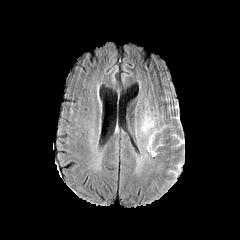
FLAIR MRI.
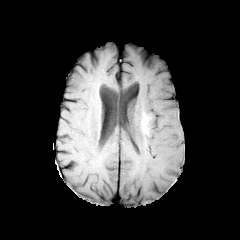
T1-weighted MRI.
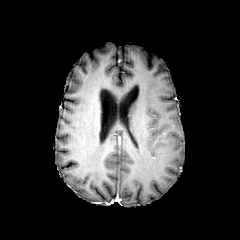
Same slice, post-contrast T1-weighted MR image.
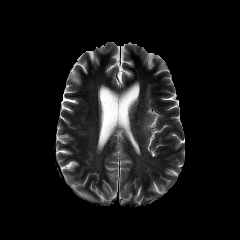
T2-weighted MRI of the same slice.
Axial view, Brain, 240x240 px
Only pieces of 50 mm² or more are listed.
The largest peritumoral edema region is bounded by x1=147 y1=130 x2=157 y2=150.